Slice 88/155. Axial plane. Head.
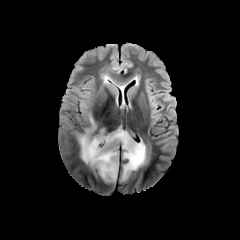
FLAIR MRI.
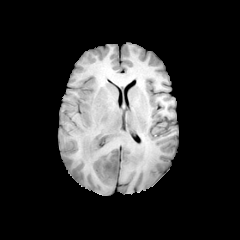
T1-weighted magnetic resonance.
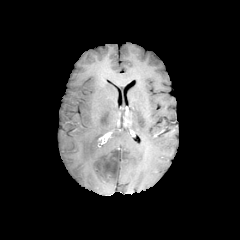
Post-contrast T1-weighted MR of the same slice.
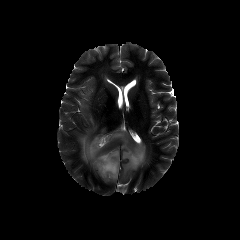
T2-weighted magnetic resonance.
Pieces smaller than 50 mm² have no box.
The largest peritumoral edema region appears at 78 129 146 181. The necrotic tumor core appears at 105 151 118 172.